Slice 60/155, Brain
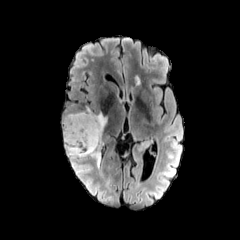
FLAIR magnetic resonance.
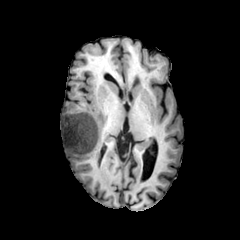
T1-weighted MR image of the same slice.
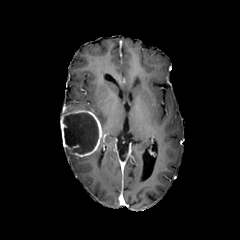
Same slice, post-contrast T1-weighted MR.
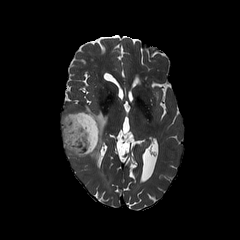
T2-weighted MRI of the same slice.
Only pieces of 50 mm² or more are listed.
peritumoral edema — (left=95, top=110, right=108, bottom=133), (left=90, top=141, right=104, bottom=167), (left=65, top=149, right=85, bottom=166)
necrotic tumor core — (left=63, top=112, right=98, bottom=153)
enhancing tumor — (left=60, top=105, right=105, bottom=157)